Axial slice
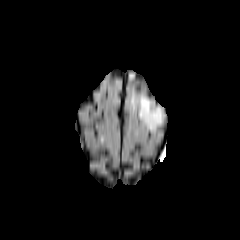
FLAIR MR image.
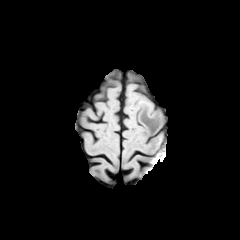
T1-weighted MRI.
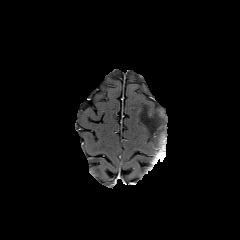
Post-contrast T1-weighted MRI.
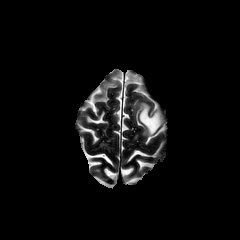
T2-weighted MR image.
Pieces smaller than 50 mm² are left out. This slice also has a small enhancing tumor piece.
{"peritumoral_edema": ["<bbox>132, 97, 163, 133</bbox>"]}